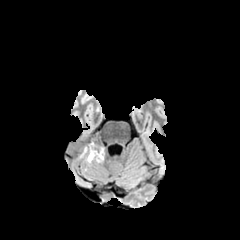
FLAIR MR.
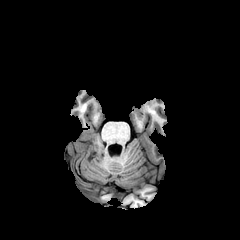
T1-weighted MR image.
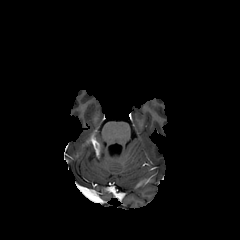
Post-contrast T1-weighted MRI of the same slice.
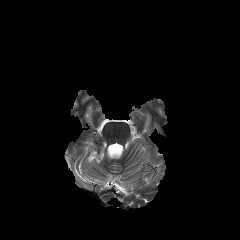
T2-weighted MR.
Axial view | Head
{"peritumoral_edema": ["88 141 106 165"], "enhancing_tumor": ["93 141 100 156"]}